Head. Image covers 240 mm x 240 mm.
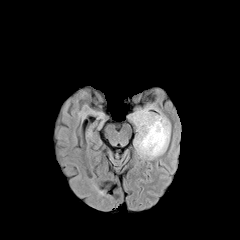
FLAIR MR.
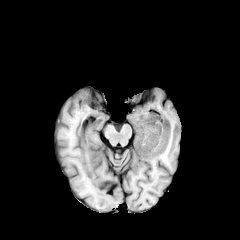
T1-weighted MR image.
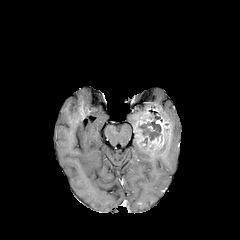
Same slice, post-contrast T1-weighted MR.
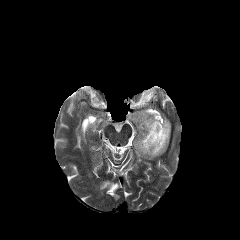
Same slice, T2-weighted MR image.
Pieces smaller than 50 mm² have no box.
peritumoral edema — box=[128, 105, 166, 124]; box=[133, 135, 169, 159]
necrotic tumor core — box=[138, 119, 161, 140]
enhancing tumor — box=[135, 108, 170, 156]